Slice 28/155. Head.
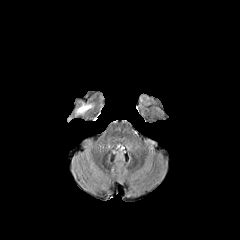
FLAIR magnetic resonance.
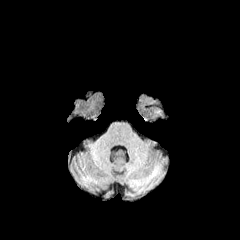
T1-weighted MRI of the same slice.
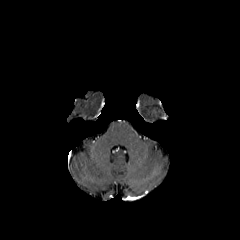
Same slice, post-contrast T1-weighted MRI.
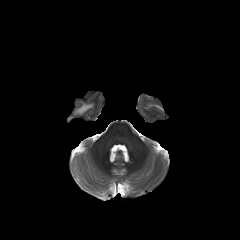
T2-weighted MR image.
The peritumoral edema appears at <bbox>76, 103, 92, 113</bbox>.